Slice index 128 | Image covers 240 mm x 240 mm | Axial view
FLAIR MR.
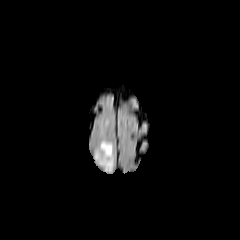
T1-weighted MRI.
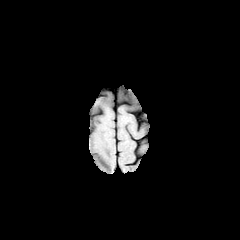
Post-contrast T1-weighted MR.
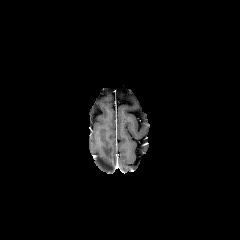
T2-weighted MRI.
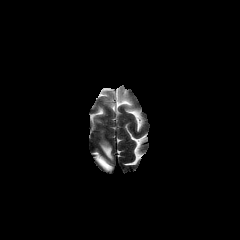
The peritumoral edema appears at box(96, 141, 113, 171).